Image width 240 mm, 1.00 mm slice spacing; Slice 124/155
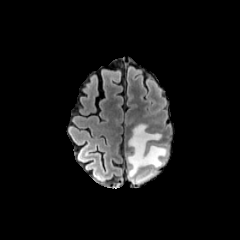
FLAIR magnetic resonance.
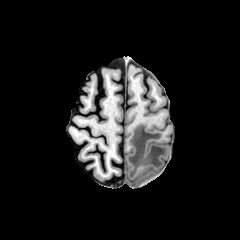
T1-weighted magnetic resonance.
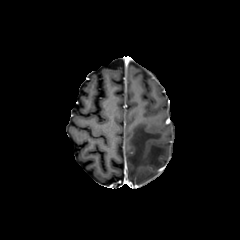
Same slice, post-contrast T1-weighted MR image.
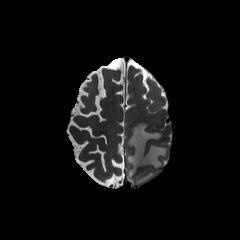
Same slice, T2-weighted MR.
peritumoral edema = box(127, 123, 168, 184)